Brain. 240x240 px. Slice index 66. Image covers 240 mm x 240 mm.
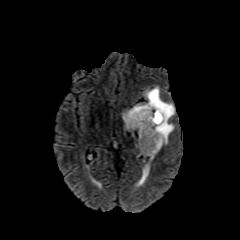
FLAIR magnetic resonance.
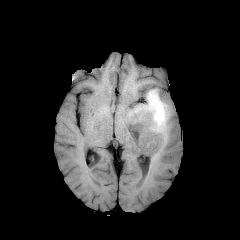
T1-weighted MR.
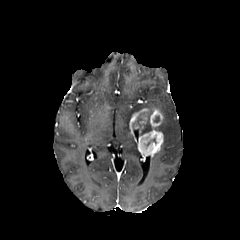
Same slice, post-contrast T1-weighted magnetic resonance.
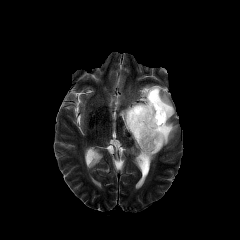
T2-weighted MR of the same slice.
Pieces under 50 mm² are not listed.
The largest enhancing tumor region lies within {"x1": 129, "y1": 108, "x2": 163, "y2": 157}. The largest necrotic tumor core region lies within {"x1": 133, "y1": 113, "x2": 144, "y2": 128}. The largest peritumoral edema region is at {"x1": 121, "y1": 85, "x2": 176, "y2": 148}.